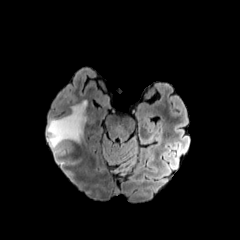
FLAIR magnetic resonance.
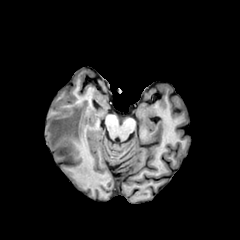
T1-weighted magnetic resonance of the same slice.
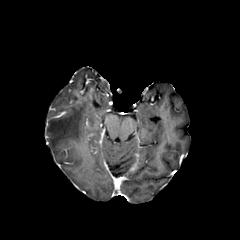
Post-contrast T1-weighted magnetic resonance of the same slice.
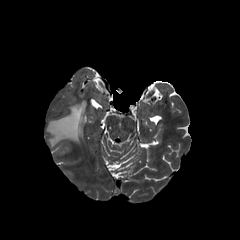
T2-weighted magnetic resonance of the same slice.
Axial slice, Brain
peritumoral edema: bounding box {"x1": 47, "y1": 101, "x2": 86, "y2": 154}